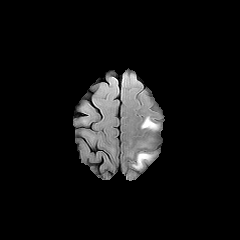
FLAIR magnetic resonance.
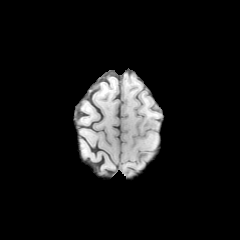
Same slice, T1-weighted MR image.
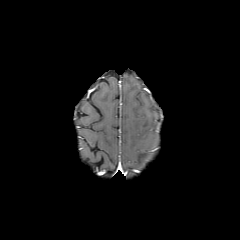
Post-contrast T1-weighted magnetic resonance.
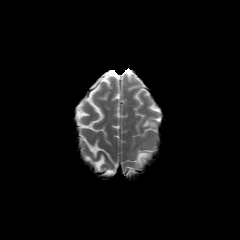
Same slice, T2-weighted magnetic resonance.
240x240; Head
Annotated regions:
* peritumoral edema: 136,153,149,167; 142,118,156,128